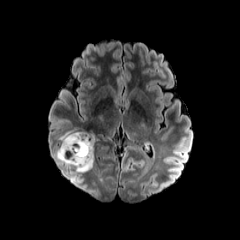
FLAIR MR.
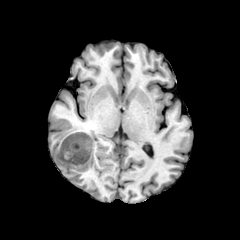
T1-weighted magnetic resonance.
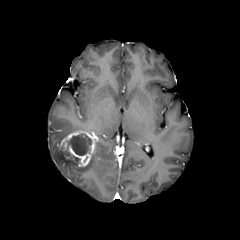
Same slice, post-contrast T1-weighted MR.
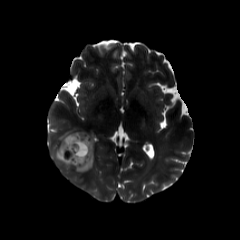
T2-weighted MR image.
Axial slice | Head
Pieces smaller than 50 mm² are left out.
necrotic_tumor_core:
  - 68:134:91:155
enhancing_tumor:
  - 60:131:95:166
peritumoral_edema:
  - 59:131:75:141
  - 54:145:93:172